FLAIR MR image.
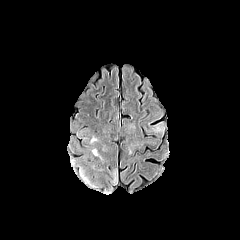
T1-weighted MR image.
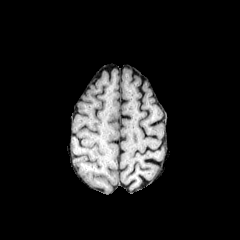
Post-contrast T1-weighted MR.
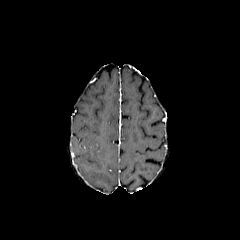
T2-weighted MRI.
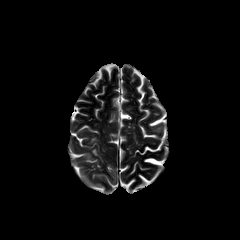
Image size 240x240.
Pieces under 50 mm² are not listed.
<segmentation>
  <peritumoral_edema>(left=113, top=170, right=116, bottom=184)</peritumoral_edema>
</segmentation>